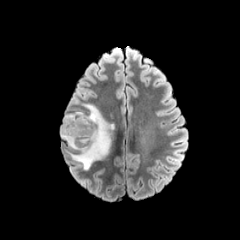
FLAIR MR.
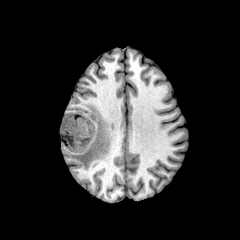
T1-weighted MRI.
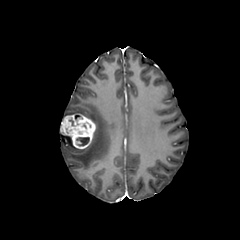
Post-contrast T1-weighted MR image.
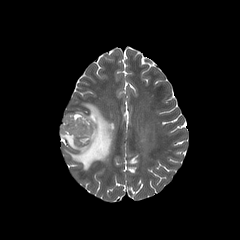
T2-weighted MR.
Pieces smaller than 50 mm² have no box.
The peritumoral edema is bounded by bbox=[60, 104, 111, 169]. The enhancing tumor lies within bbox=[60, 113, 95, 149]. The largest necrotic tumor core region appears at bbox=[75, 136, 89, 145].